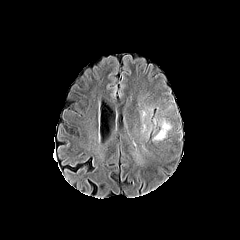
FLAIR MR.
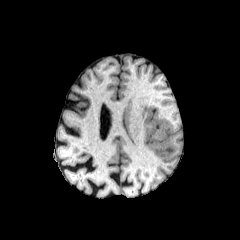
Same slice, T1-weighted MR.
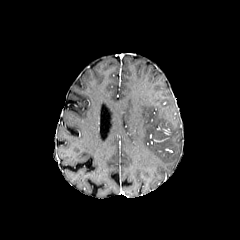
Post-contrast T1-weighted MRI of the same slice.
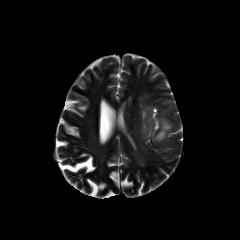
T2-weighted magnetic resonance.
Image size 240x240
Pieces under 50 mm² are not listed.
peritumoral edema: {"x1": 155, "y1": 131, "x2": 164, "y2": 139}